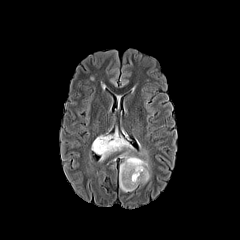
FLAIR MR.
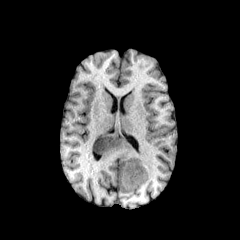
Same slice, T1-weighted MR.
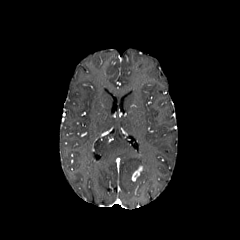
Post-contrast T1-weighted MRI.
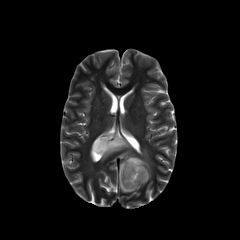
T2-weighted MR.
Axial slice; Head
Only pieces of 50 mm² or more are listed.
The enhancing tumor is located at 131, 166, 143, 181. The 2 largest peritumoral edema regions are located at 92, 131, 133, 160; 119, 150, 150, 192.